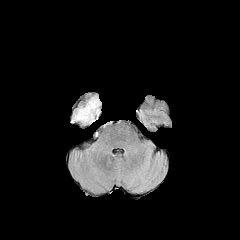
FLAIR MRI.
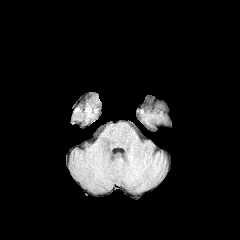
T1-weighted MR of the same slice.
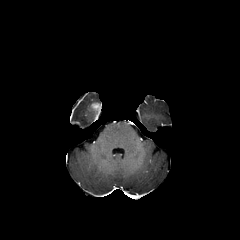
Same slice, post-contrast T1-weighted magnetic resonance.
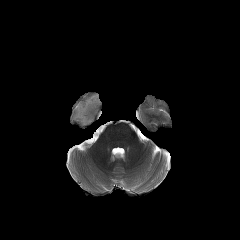
T2-weighted MR.
240x240 px | Brain
peritumoral edema: <bbox>72, 96, 100, 124</bbox> | enhancing tumor: <bbox>90, 102, 101, 115</bbox>